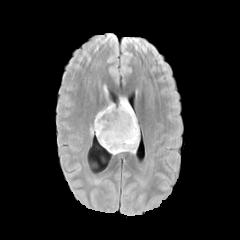
FLAIR MR.
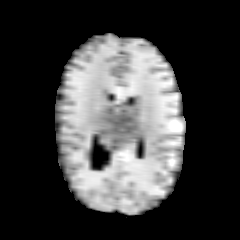
Same slice, T1-weighted MR image.
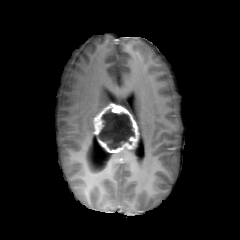
Post-contrast T1-weighted magnetic resonance.
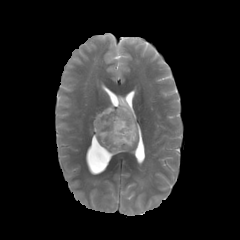
T2-weighted MRI.
Axial slice; Head
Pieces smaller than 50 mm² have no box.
Findings:
- enhancing tumor: [93, 103, 139, 153]
- peritumoral edema: [119, 98, 137, 124]
- necrotic tumor core: [98, 109, 134, 149]